Slice index 70, 240x240
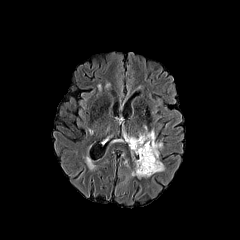
FLAIR MR image.
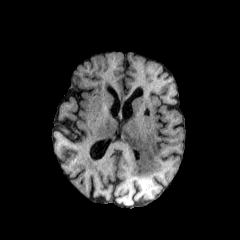
Same slice, T1-weighted magnetic resonance.
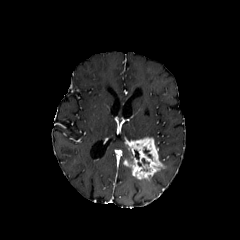
Post-contrast T1-weighted magnetic resonance of the same slice.
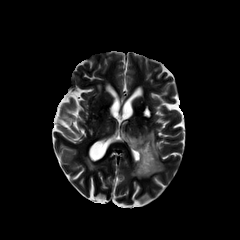
T2-weighted magnetic resonance of the same slice.
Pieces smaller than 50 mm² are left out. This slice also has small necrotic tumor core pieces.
peritumoral edema: <bbox>126, 126, 155, 140</bbox> | enhancing tumor: <bbox>123, 137, 164, 179</bbox>